Axial plane, Head
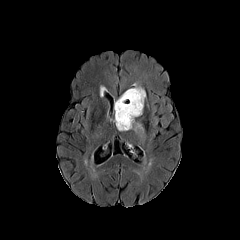
FLAIR MR image.
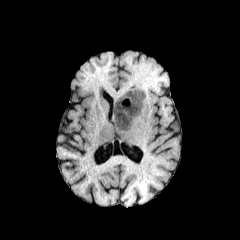
T1-weighted magnetic resonance of the same slice.
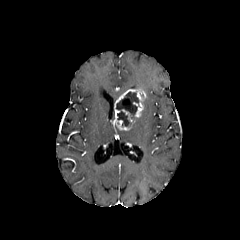
Post-contrast T1-weighted MRI.
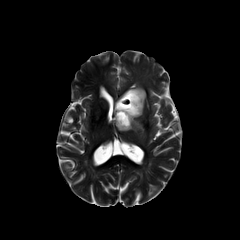
Same slice, T2-weighted MRI.
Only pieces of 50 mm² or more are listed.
Annotated regions:
* peritumoral edema: [131,122,143,136]
* enhancing tumor: [113,88,146,130]
* necrotic tumor core: [116,91,138,126]